Axial plane, Slice 76/155
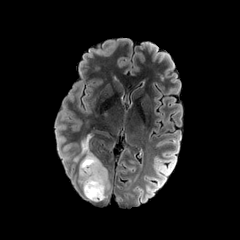
FLAIR MR image.
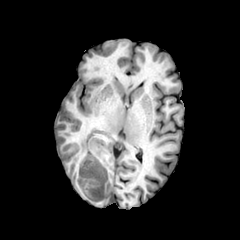
T1-weighted MR image.
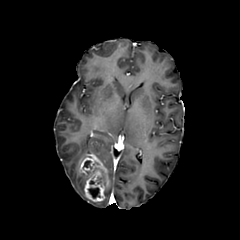
Post-contrast T1-weighted magnetic resonance.
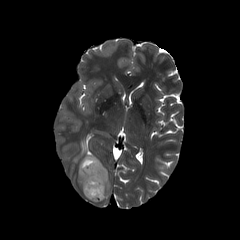
Same slice, T2-weighted MRI.
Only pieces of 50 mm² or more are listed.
peritumoral_edema:
  - x1=74 y1=134 x2=92 y2=161
  - x1=104 y1=180 x2=110 y2=200
  - x1=79 y1=165 x2=85 y2=196
necrotic_tumor_core:
  - x1=83 y1=160 x2=92 y2=168
  - x1=88 y1=187 x2=100 y2=198
enhancing_tumor:
  - x1=80 y1=153 x2=108 y2=202